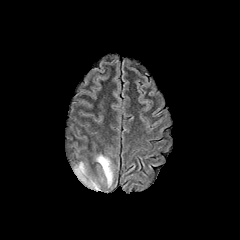
FLAIR MRI.
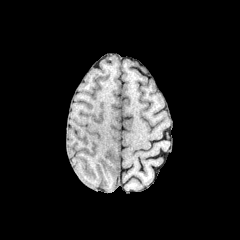
T1-weighted MR image.
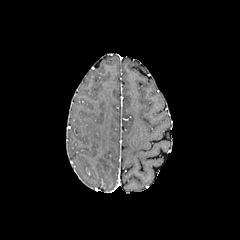
Post-contrast T1-weighted magnetic resonance of the same slice.
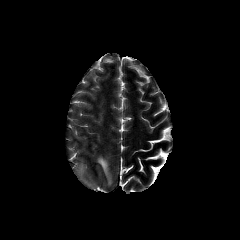
T2-weighted MR image.
Brain
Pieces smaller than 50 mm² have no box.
The 2 largest peritumoral edema regions appear at <bbox>76, 162, 85, 176</bbox>, <bbox>97, 156, 112, 185</bbox>.